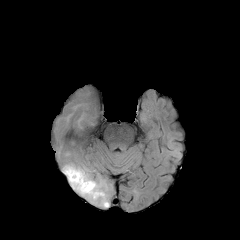
FLAIR MR.
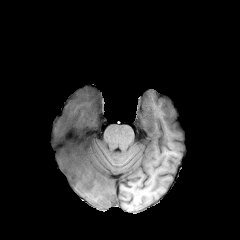
T1-weighted MR.
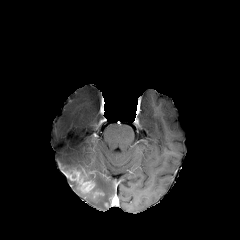
Post-contrast T1-weighted MR.
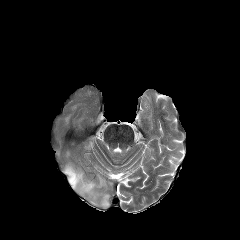
T2-weighted MRI of the same slice.
240x240
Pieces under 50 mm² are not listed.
Annotated regions:
- enhancing tumor: rect(61, 167, 95, 193)
- peritumoral edema: rect(62, 160, 110, 208)